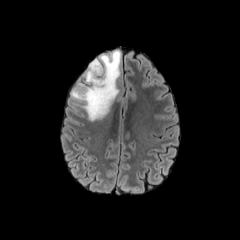
FLAIR MR image.
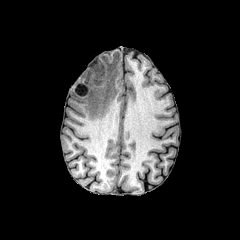
T1-weighted MRI of the same slice.
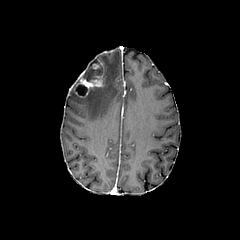
Post-contrast T1-weighted MR image.
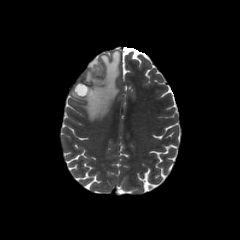
T2-weighted MRI.
Axial plane, Head
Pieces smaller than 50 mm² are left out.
<segmentation>
  <peritumoral_edema>(x1=72, y1=50, x2=120, y2=121)</peritumoral_edema>
  <enhancing_tumor>(x1=74, y1=75, x2=103, y2=97)</enhancing_tumor>
  <necrotic_tumor_core>(x1=76, y1=84, x2=86, y2=95)</necrotic_tumor_core>
</segmentation>